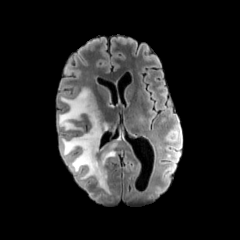
FLAIR MRI.
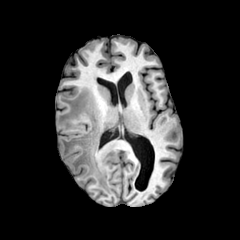
T1-weighted MRI.
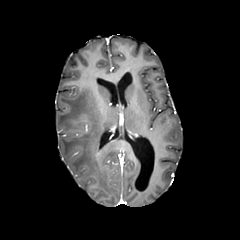
Same slice, post-contrast T1-weighted MR.
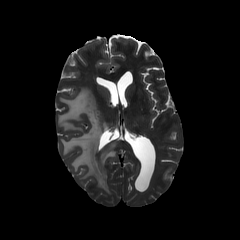
T2-weighted MRI of the same slice.
Image size 240x240 | Head
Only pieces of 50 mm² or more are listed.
peritumoral edema — (x1=58, y1=87, x2=118, y2=193)